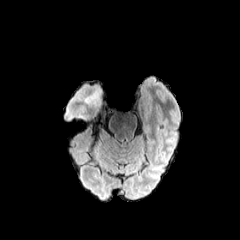
FLAIR magnetic resonance.
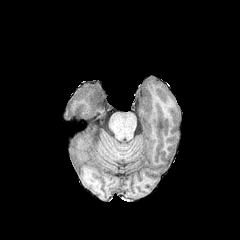
T1-weighted MRI.
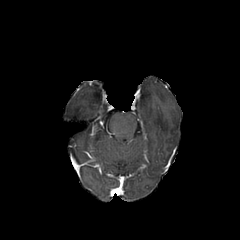
Post-contrast T1-weighted MR image of the same slice.
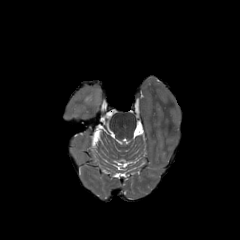
Same slice, T2-weighted MR.
Axial plane | Head
peritumoral edema: left=84, top=85, right=107, bottom=110